FLAIR MRI.
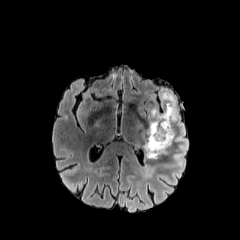
T1-weighted MRI.
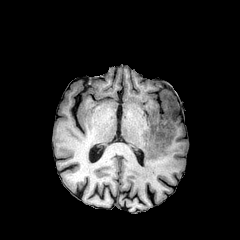
Post-contrast T1-weighted magnetic resonance.
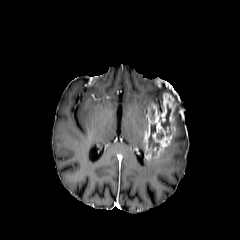
T2-weighted MR image.
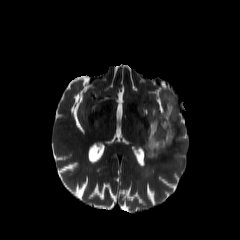
Axial plane | Head
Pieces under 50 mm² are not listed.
The largest peritumoral edema region is located at left=145, top=86, right=188, bottom=172. The enhancing tumor is located at left=143, top=92, right=176, bottom=159. The 2 largest necrotic tumor core regions appear at left=148, top=124, right=159, bottom=150; left=161, top=104, right=171, bottom=133.